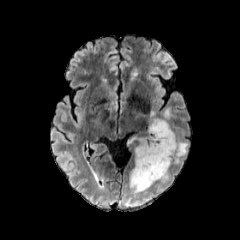
FLAIR MRI.
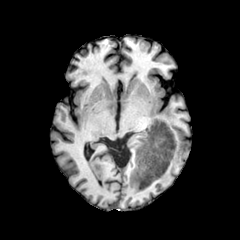
T1-weighted MR image.
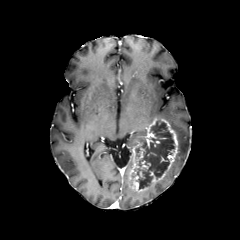
Post-contrast T1-weighted MR.
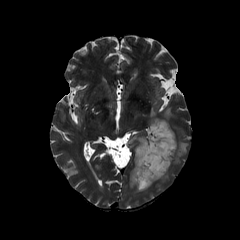
T2-weighted MR image.
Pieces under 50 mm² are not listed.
enhancing tumor = rect(129, 117, 178, 191)
peritumoral edema = rect(163, 108, 174, 121); rect(173, 132, 188, 164); rect(160, 171, 169, 182)
necrotic tumor core = rect(135, 121, 174, 189)